FLAIR magnetic resonance.
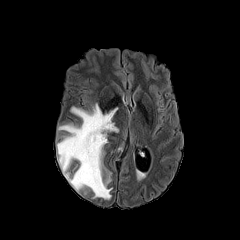
T1-weighted MRI.
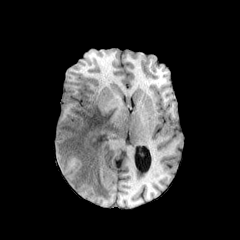
Post-contrast T1-weighted magnetic resonance.
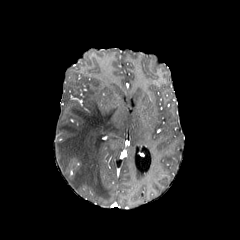
T2-weighted MR image.
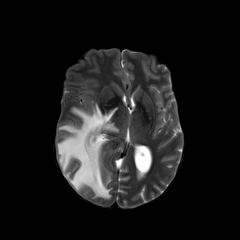
Axial plane.
The peritumoral edema lies within [57, 103, 118, 199].